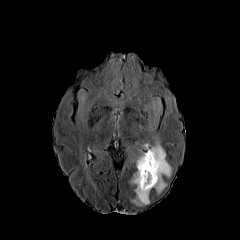
FLAIR MR.
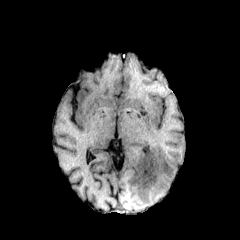
Same slice, T1-weighted MR.
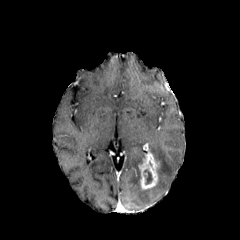
Post-contrast T1-weighted MR.
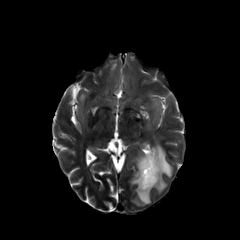
Same slice, T2-weighted MRI.
Image size 240x240, Axial plane
The enhancing tumor is bounded by (138, 149, 159, 189). 3 peritumoral edema regions appear at (164, 95, 177, 128), (145, 99, 172, 193), (130, 151, 150, 205). The necrotic tumor core is at (144, 170, 152, 183).